Slice 81/155 | 240x240 | Axial slice
FLAIR MR image.
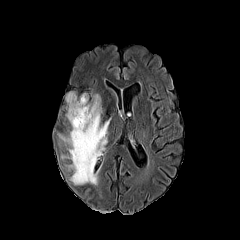
T1-weighted MR image.
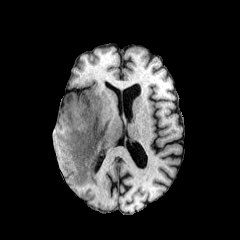
Post-contrast T1-weighted MR image.
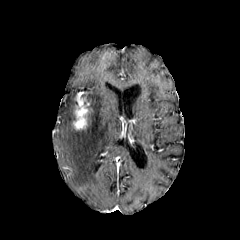
T2-weighted MR image.
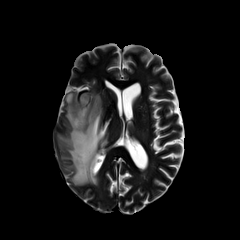
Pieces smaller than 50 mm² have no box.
enhancing tumor: 73:95:91:130
peritumoral edema: 59:92:110:184